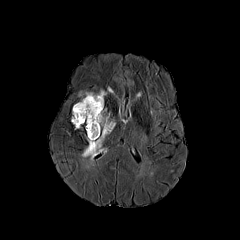
FLAIR MR image.
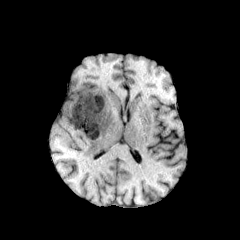
Same slice, T1-weighted MRI.
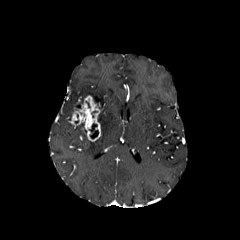
Post-contrast T1-weighted MRI.
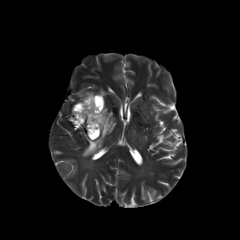
T2-weighted MRI.
Axial plane
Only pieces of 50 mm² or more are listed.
peritumoral edema at [x1=82, y1=89, x2=115, y2=157]
enhancing tumor at [x1=71, y1=95, x2=101, y2=141]
necrotic tumor core at [x1=90, y1=123, x2=98, y2=138]